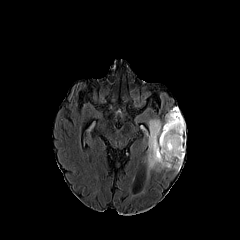
FLAIR MR.
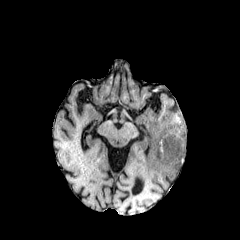
T1-weighted magnetic resonance.
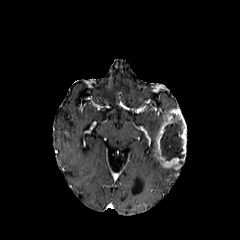
Post-contrast T1-weighted MR of the same slice.
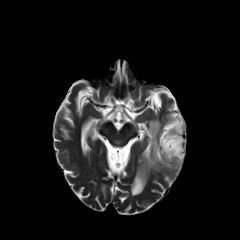
Same slice, T2-weighted MR.
Head; Image size 240x240
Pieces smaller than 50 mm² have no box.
<segmentation>
  <peritumoral_edema>(146, 118, 172, 175)</peritumoral_edema>
  <necrotic_tumor_core>(160, 119, 184, 160)</necrotic_tumor_core>
  <enhancing_tumor>(153, 107, 186, 170)</enhancing_tumor>
</segmentation>